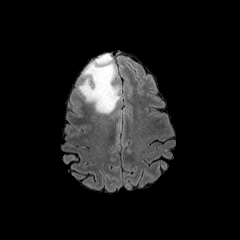
FLAIR MR image.
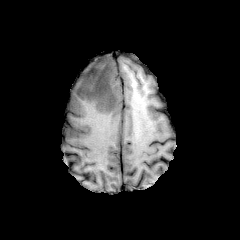
T1-weighted MR of the same slice.
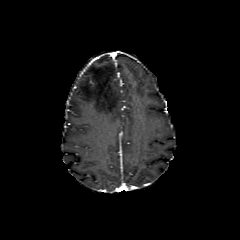
Same slice, post-contrast T1-weighted MRI.
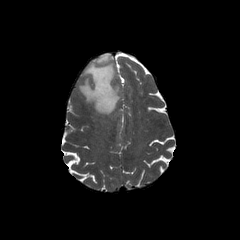
T2-weighted magnetic resonance.
Head; Axial plane
The peritumoral edema is at (left=78, top=54, right=120, bottom=114).